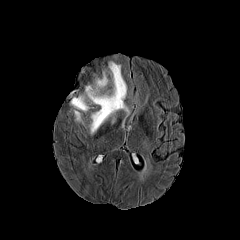
FLAIR magnetic resonance.
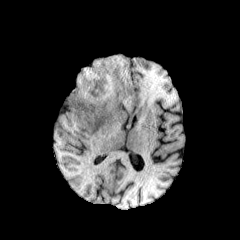
T1-weighted MR image.
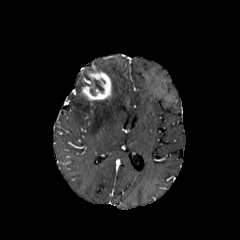
Post-contrast T1-weighted MR of the same slice.
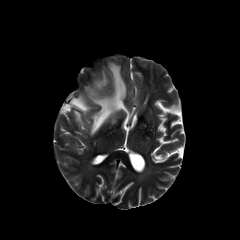
T2-weighted magnetic resonance of the same slice.
Brain.
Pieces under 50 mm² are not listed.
3 peritumoral edema regions are bounded by 74:110:83:123, 90:61:128:134, 70:95:89:112. The largest necrotic tumor core region appears at 88:79:103:92. The enhancing tumor is located at 82:72:111:100.